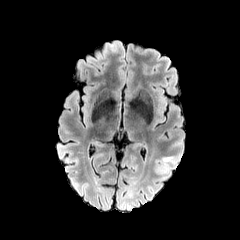
FLAIR MR.
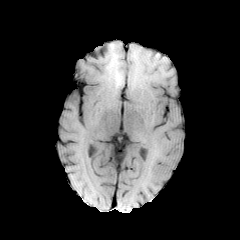
T1-weighted MRI of the same slice.
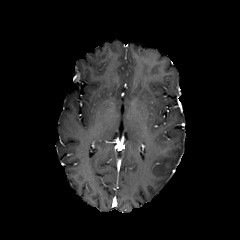
Post-contrast T1-weighted magnetic resonance.
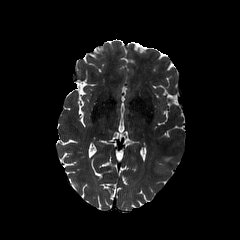
T2-weighted MR.
peritumoral edema at rect(156, 156, 175, 173)